Slice index 85 | 240x240 px | Brain
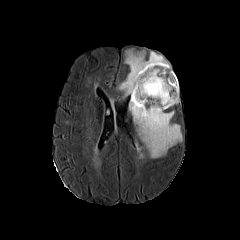
FLAIR MR.
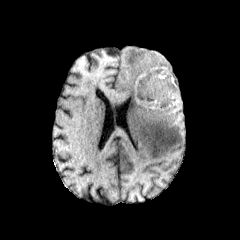
T1-weighted MRI.
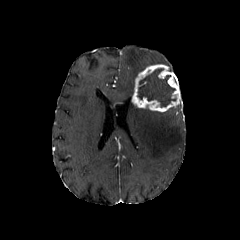
Post-contrast T1-weighted MR of the same slice.
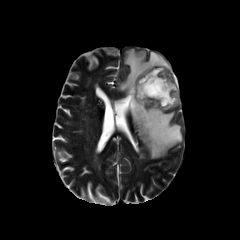
T2-weighted MRI.
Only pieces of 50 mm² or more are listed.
enhancing tumor: x1=131, y1=64, x2=180, y2=112 | peritumoral edema: x1=118, y1=49, x2=171, y2=99; x1=129, y1=101, x2=182, y2=158 | necrotic tumor core: x1=138, y1=68, x2=176, y2=106